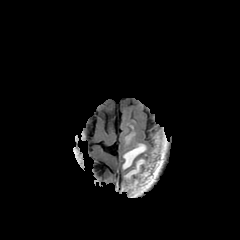
FLAIR magnetic resonance.
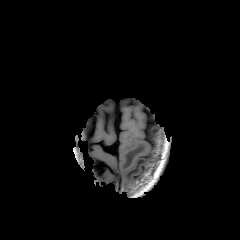
T1-weighted MRI.
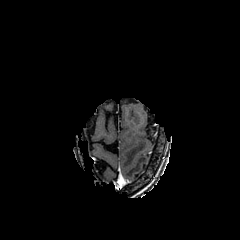
Post-contrast T1-weighted MR image of the same slice.
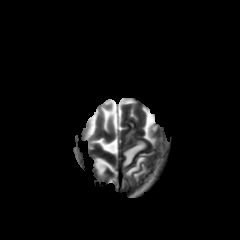
T2-weighted MRI.
Head; Axial view
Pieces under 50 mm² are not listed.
The 3 largest peritumoral edema regions are bounded by box=[125, 133, 134, 143]; box=[124, 158, 145, 179]; box=[122, 143, 146, 169].